Axial plane. Head.
FLAIR magnetic resonance.
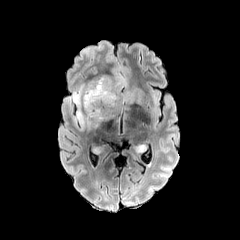
T1-weighted MR image.
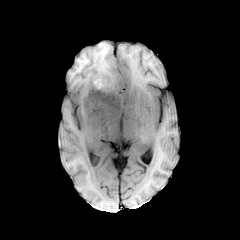
Post-contrast T1-weighted magnetic resonance.
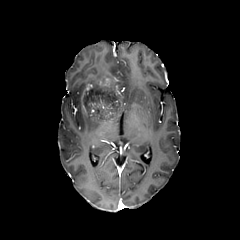
T2-weighted MR.
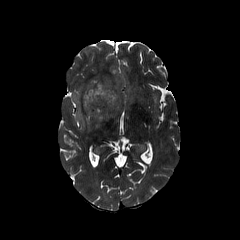
{
  "peritumoral_edema": [
    "box(72, 76, 143, 129)"
  ]
}